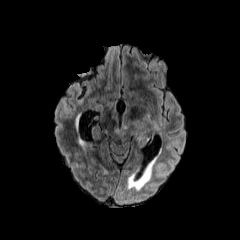
FLAIR MR.
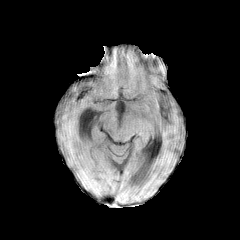
Same slice, T1-weighted MR image.
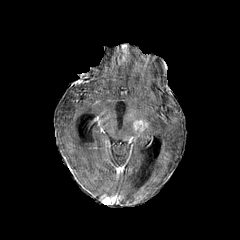
Post-contrast T1-weighted MR image.
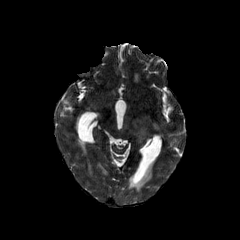
T2-weighted MR image.
Head; Axial view; Image size 240x240
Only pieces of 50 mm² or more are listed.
peritumoral edema: bounding box [117,115,149,134], [133,129,148,138]
enhancing tumor: bounding box [133,120,148,131]